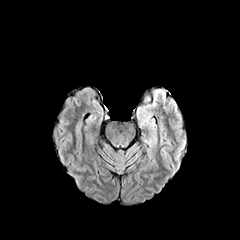
FLAIR magnetic resonance.
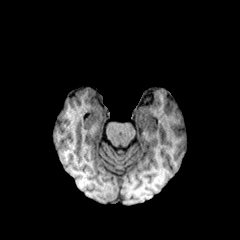
T1-weighted MR image.
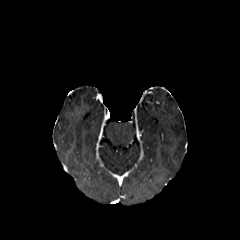
Post-contrast T1-weighted MR.
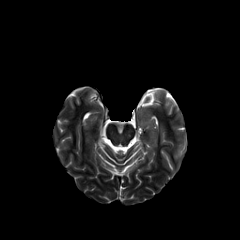
T2-weighted MR.
Head
peritumoral edema = x1=146, y1=122, x2=156, y2=144